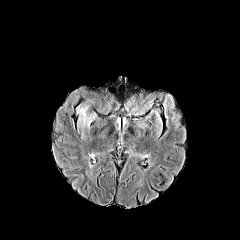
FLAIR magnetic resonance.
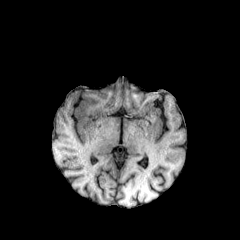
Same slice, T1-weighted magnetic resonance.
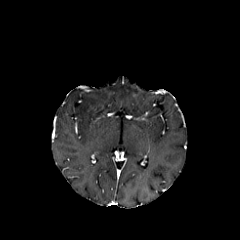
Post-contrast T1-weighted MRI of the same slice.
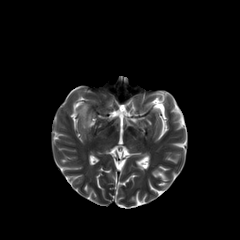
T2-weighted MR image.
Brain
The peritumoral edema lies within region(77, 106, 91, 126).